FLAIR MRI.
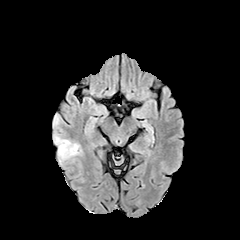
T1-weighted MR.
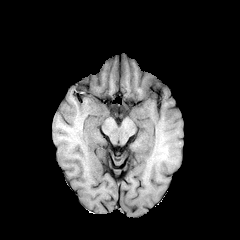
Post-contrast T1-weighted MR.
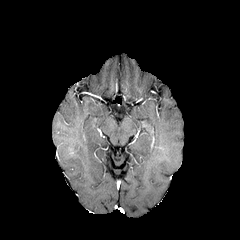
T2-weighted MR image.
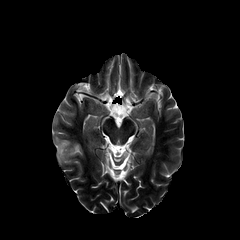
Image size 240x240
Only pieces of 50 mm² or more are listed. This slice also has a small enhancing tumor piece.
peritumoral edema: bounding box 54:136:80:160